FLAIR magnetic resonance.
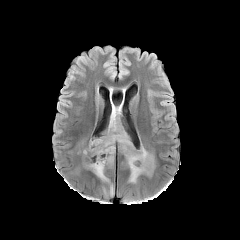
T1-weighted MRI.
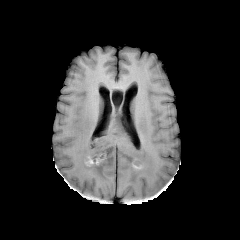
Post-contrast T1-weighted MR image.
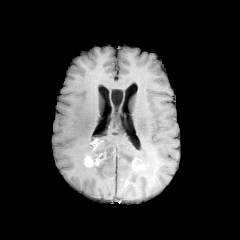
T2-weighted MR image.
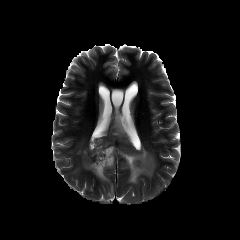
Brain; Image size 240x240; Axial view
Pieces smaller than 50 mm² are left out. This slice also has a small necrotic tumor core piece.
<segmentation>
  <peritumoral_edema>rect(87, 109, 155, 192)</peritumoral_edema>
  <enhancing_tumor>rect(84, 152, 105, 167); rect(132, 159, 143, 168); rect(91, 139, 103, 150)</enhancing_tumor>
</segmentation>